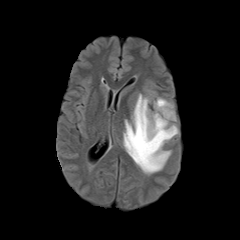
FLAIR MRI.
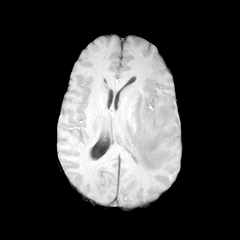
Same slice, T1-weighted MR image.
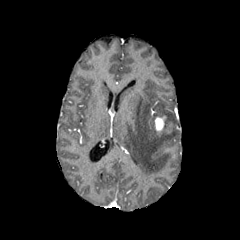
Post-contrast T1-weighted MR image.
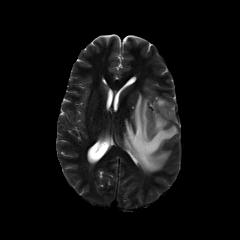
T2-weighted MR image of the same slice.
Axial view | Head
peritumoral edema at {"x1": 123, "y1": 90, "x2": 179, "y2": 173}
enhancing tumor at {"x1": 155, "y1": 116, "x2": 165, "y2": 133}